Head; Image covers 240 mm x 240 mm
FLAIR MR.
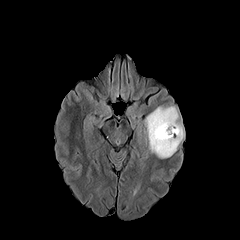
T1-weighted MRI.
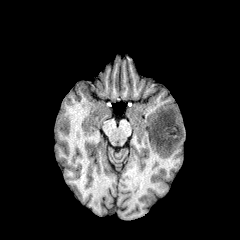
Post-contrast T1-weighted MRI.
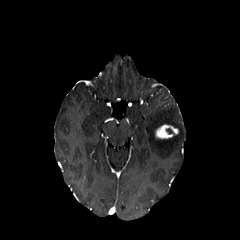
T2-weighted MR image.
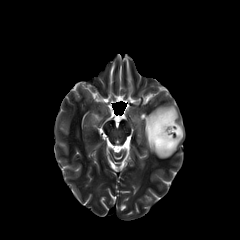
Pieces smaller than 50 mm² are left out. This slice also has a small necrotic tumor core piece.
The peritumoral edema is located at <bbox>145, 105, 184, 158</bbox>. The enhancing tumor appears at <bbox>155, 124, 178, 138</bbox>.